Axial view, Head
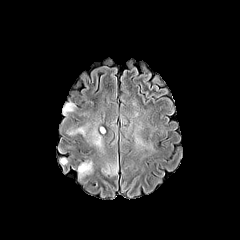
FLAIR MR.
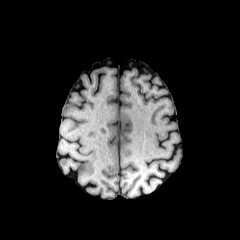
T1-weighted MRI of the same slice.
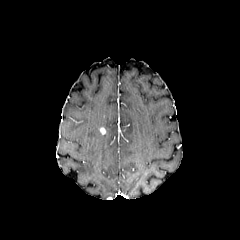
Post-contrast T1-weighted MR.
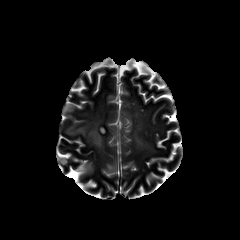
Same slice, T2-weighted MRI.
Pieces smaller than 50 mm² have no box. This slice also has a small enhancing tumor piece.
peritumoral_edema:
  - x1=92, y1=129, x2=101, y2=146
  - x1=78, y1=162, x2=91, y2=174
  - x1=69, y1=127, x2=84, y2=134
  - x1=63, y1=103, x2=73, y2=113